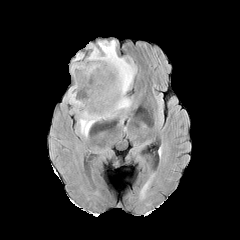
FLAIR MR.
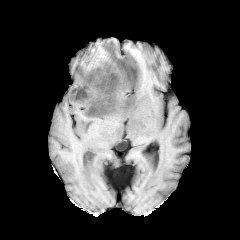
T1-weighted MR.
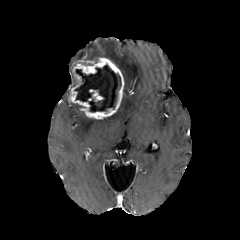
Post-contrast T1-weighted MR.
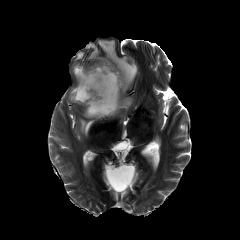
Same slice, T2-weighted magnetic resonance.
Axial slice
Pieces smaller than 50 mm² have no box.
2 enhancing tumor regions appear at 68,57,124,119; 88,89,103,102. The necrotic tumor core is bounded by 75,65,120,111. The 3 largest peritumoral edema regions appear at 74,52,83,62; 79,111,98,136; 87,40,137,118.